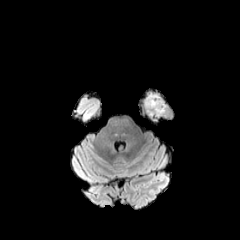
FLAIR MR image.
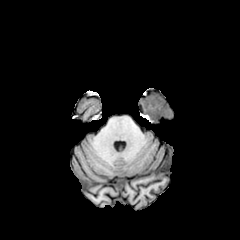
T1-weighted MR image of the same slice.
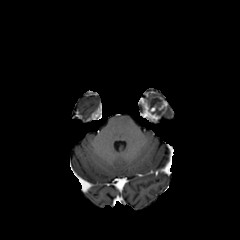
Post-contrast T1-weighted MRI.
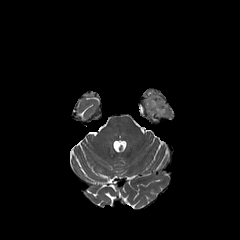
T2-weighted MRI.
Axial view.
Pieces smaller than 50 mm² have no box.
peritumoral edema — (x1=142, y1=92, x2=159, y2=120)
enhancing tumor — (x1=144, y1=96, x2=167, y2=121)
necrotic tumor core — (x1=149, y1=98, x2=163, y2=114)